FLAIR MR.
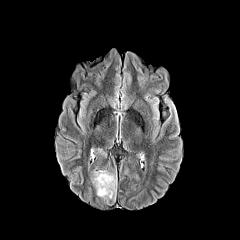
T1-weighted magnetic resonance.
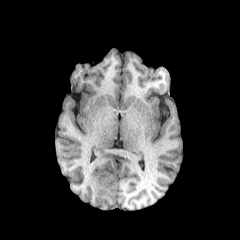
Post-contrast T1-weighted MRI.
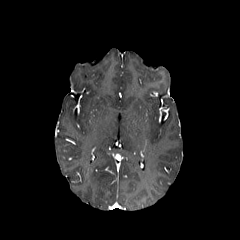
T2-weighted magnetic resonance.
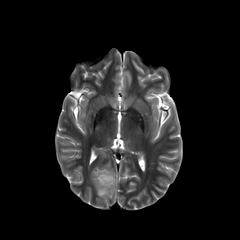
Brain, Axial slice
<segmentation>
  <peritumoral_edema>[91,170,116,201]</peritumoral_edema>
</segmentation>